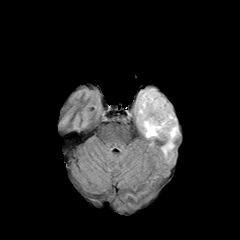
FLAIR MR image.
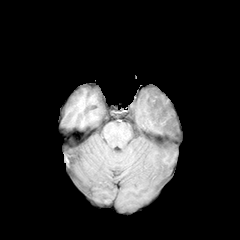
T1-weighted MR image.
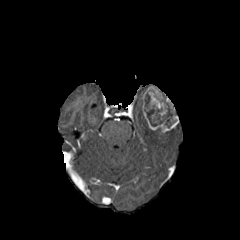
Post-contrast T1-weighted MR.
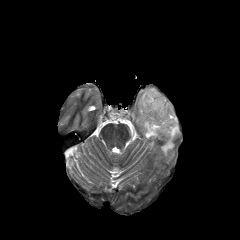
T2-weighted magnetic resonance.
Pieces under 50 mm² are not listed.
The largest enhancing tumor region is located at 141:86:178:132. The largest peritumoral edema region lies within 134:89:178:157. The 2 largest necrotic tumor core regions are bounded by 145:93:150:107, 146:105:172:126.